240x240 px | Axial slice
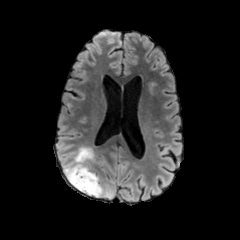
FLAIR MRI.
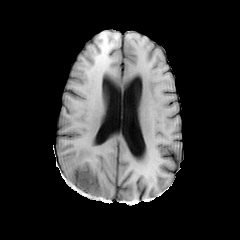
T1-weighted magnetic resonance.
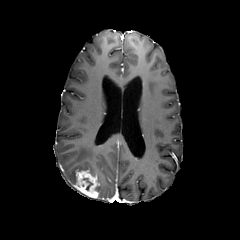
Same slice, post-contrast T1-weighted magnetic resonance.
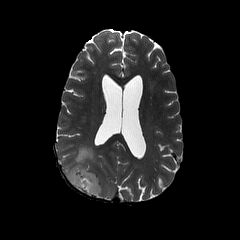
T2-weighted MR.
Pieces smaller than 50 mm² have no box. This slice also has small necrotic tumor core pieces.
The enhancing tumor is located at 74, 170, 99, 197. The 3 largest peritumoral edema regions are bounded by 64, 146, 94, 185; 106, 185, 113, 197; 98, 184, 103, 196.